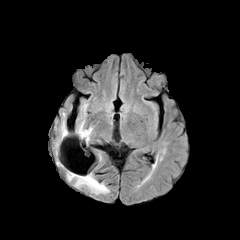
FLAIR MR.
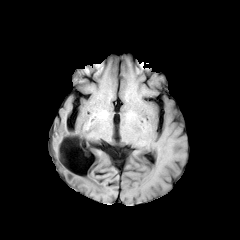
T1-weighted MR.
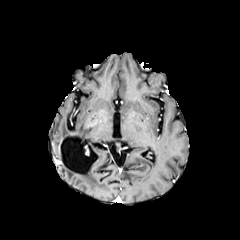
Post-contrast T1-weighted MR image.
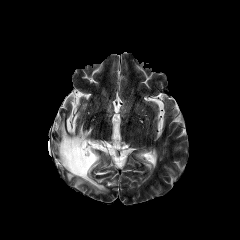
T2-weighted MR of the same slice.
Head
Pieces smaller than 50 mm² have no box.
peritumoral edema: region(68, 172, 108, 193); region(55, 121, 67, 138); region(78, 126, 90, 141)